FLAIR magnetic resonance.
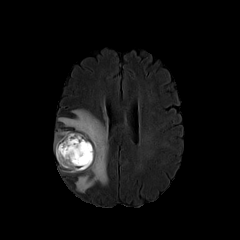
T1-weighted MR.
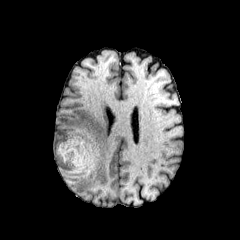
Post-contrast T1-weighted MRI.
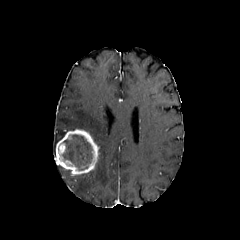
T2-weighted MRI.
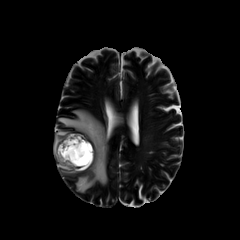
240x240 px. Head.
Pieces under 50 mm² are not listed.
enhancing tumor — [56,129,99,175]
necrotic tumor core — [62,135,92,170]
peritumoral edema — [58,109,108,192], [54,130,67,154]